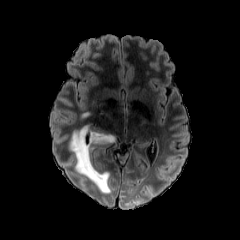
FLAIR magnetic resonance.
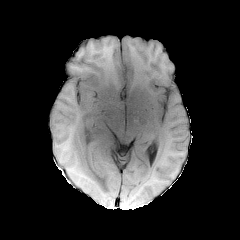
T1-weighted MR image.
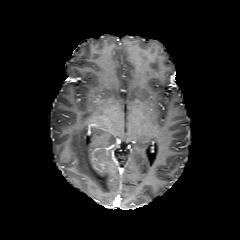
Post-contrast T1-weighted MR image.
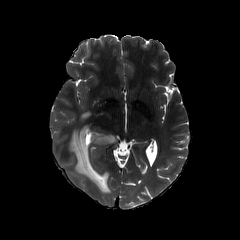
Same slice, T2-weighted MR image.
Axial slice
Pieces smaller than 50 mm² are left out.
<segmentation>
  <peritumoral_edema>box=[69, 125, 115, 193]</peritumoral_edema>
</segmentation>